FLAIR MR image.
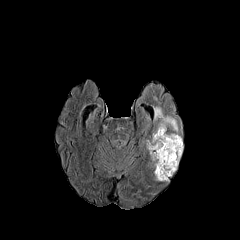
T1-weighted MR image.
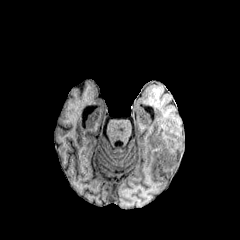
Post-contrast T1-weighted MR.
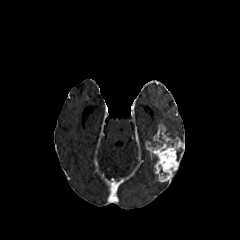
T2-weighted MR.
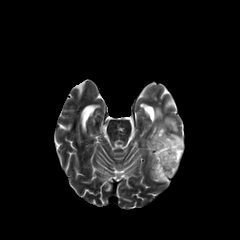
Axial slice
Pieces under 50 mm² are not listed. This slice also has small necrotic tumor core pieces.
The largest peritumoral edema region is located at (x1=154, y1=107, x2=178, y2=138). The enhancing tumor lies within (x1=145, y1=123, x2=184, y2=182).